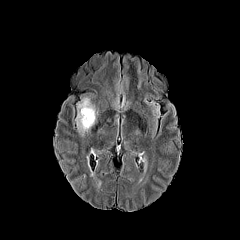
FLAIR MR image.
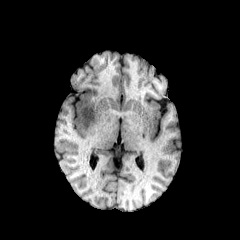
T1-weighted MR image.
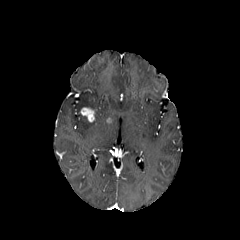
Post-contrast T1-weighted MR image of the same slice.
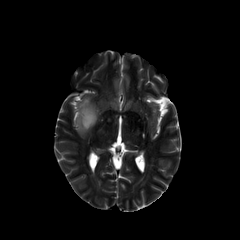
T2-weighted MRI.
240x240 px
{
  "peritumoral_edema": [
    "76:97:97:134"
  ],
  "enhancing_tumor": [
    "80:107:95:122"
  ]
}